Brain
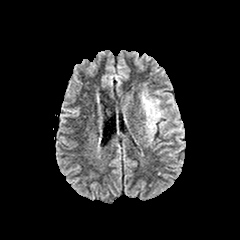
FLAIR MR.
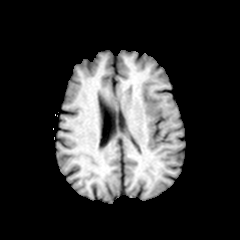
Same slice, T1-weighted magnetic resonance.
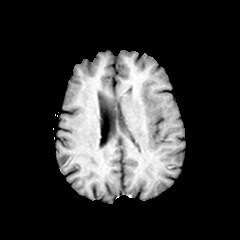
Same slice, post-contrast T1-weighted MR.
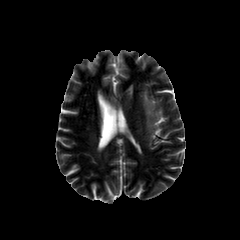
T2-weighted MR.
peritumoral edema: bbox(141, 92, 162, 133)